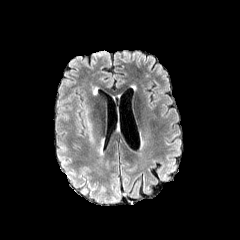
FLAIR MR image.
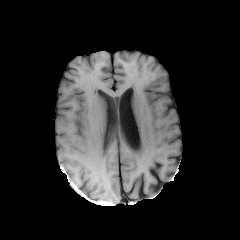
Same slice, T1-weighted MR image.
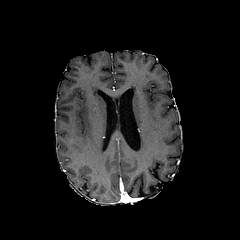
Post-contrast T1-weighted MRI.
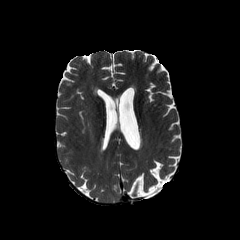
T2-weighted MRI of the same slice.
Brain; Axial slice
* peritumoral edema: {"x1": 98, "y1": 139, "x2": 104, "y2": 155}, {"x1": 85, "y1": 109, "x2": 93, "y2": 141}